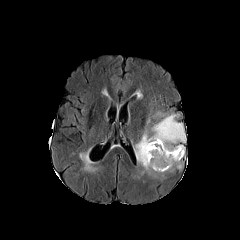
FLAIR MRI.
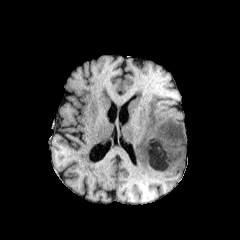
Same slice, T1-weighted MR.
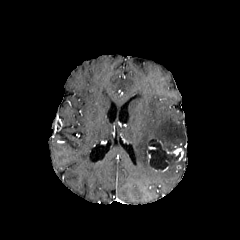
Same slice, post-contrast T1-weighted magnetic resonance.
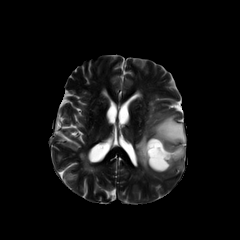
T2-weighted MRI.
Axial plane | Brain
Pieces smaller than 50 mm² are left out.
The necrotic tumor core lies within bbox=[148, 140, 180, 171]. The largest enhancing tumor region is located at bbox=[160, 141, 184, 161]. The 2 largest peritumoral edema regions are located at bbox=[134, 112, 186, 177]; bbox=[167, 159, 182, 171].